240x240; Head; Axial plane; Slice 75 of 155
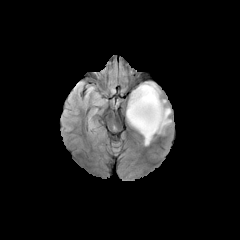
FLAIR MRI.
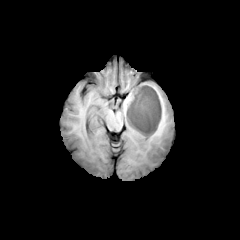
T1-weighted MR image.
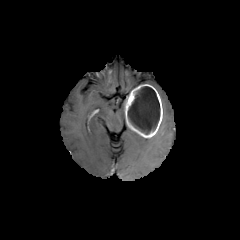
Same slice, post-contrast T1-weighted MRI.
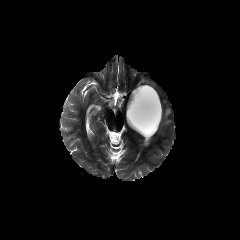
Same slice, T2-weighted MRI.
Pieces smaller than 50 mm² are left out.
necrotic tumor core: {"x1": 128, "y1": 86, "x2": 159, "y2": 134} | enhancing tumor: {"x1": 125, "y1": 84, "x2": 162, "y2": 138} | peritumoral edema: {"x1": 144, "y1": 137, "x2": 152, "y2": 145}, {"x1": 156, "y1": 99, "x2": 171, "y2": 133}